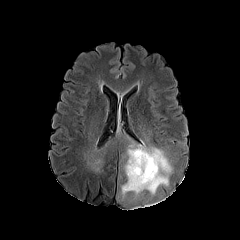
FLAIR magnetic resonance.
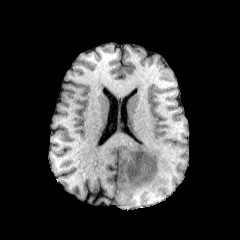
T1-weighted magnetic resonance of the same slice.
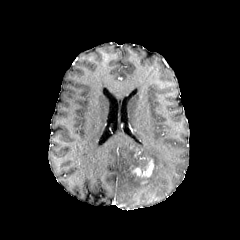
Post-contrast T1-weighted MRI.
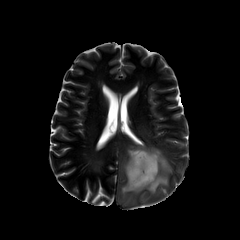
Same slice, T2-weighted MRI.
Brain
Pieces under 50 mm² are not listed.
The largest necrotic tumor core region is bounded by [130, 152, 150, 182]. The largest enhancing tumor region is bounded by [132, 157, 153, 177]. The peritumoral edema is located at [121, 143, 172, 198].